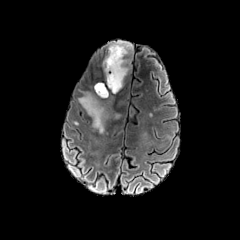
FLAIR MR image.
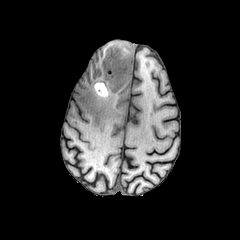
T1-weighted MR.
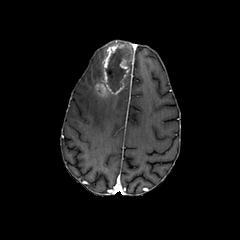
Post-contrast T1-weighted MRI.
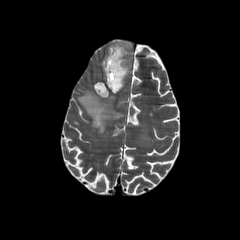
Same slice, T2-weighted MRI.
Brain, Image size 240x240, Axial plane
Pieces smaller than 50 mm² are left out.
Findings:
- enhancing tumor: l=95, t=42, r=131, b=96
- necrotic tumor core: l=106, t=47, r=130, b=92
- peritumoral edema: l=78, t=90, r=119, b=133